Slice 112 of 155 | Image width 240 mm
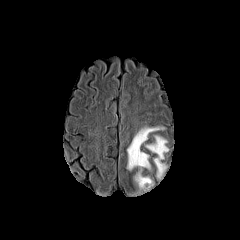
FLAIR MR image.
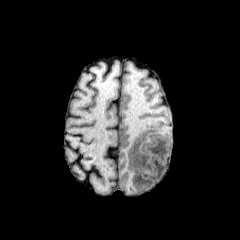
T1-weighted MR image.
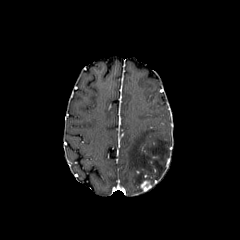
Same slice, post-contrast T1-weighted MRI.
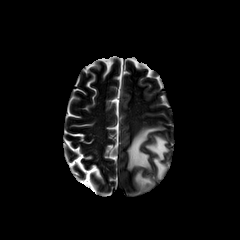
T2-weighted MR.
peritumoral edema: region(127, 126, 164, 187); region(145, 136, 168, 178) | enhancing tumor: region(140, 180, 151, 191)